Brain, Image width 240 mm, 1.00 mm slice spacing
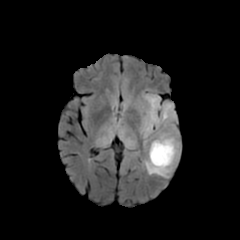
FLAIR MR.
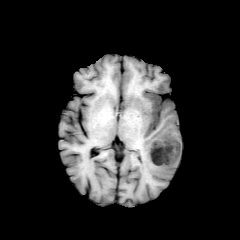
T1-weighted MR image.
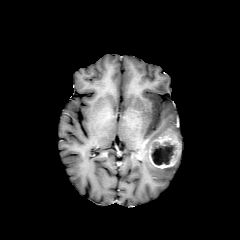
Same slice, post-contrast T1-weighted MR image.
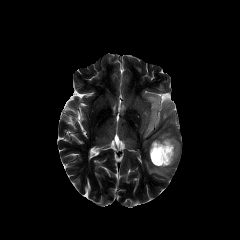
Same slice, T2-weighted MR.
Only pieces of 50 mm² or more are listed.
{"necrotic_tumor_core": ["151:142:175:165"], "enhancing_tumor": ["149:130:180:168"], "peritumoral_edema": ["139:91:180:178"]}